Slice 76/155 | Head
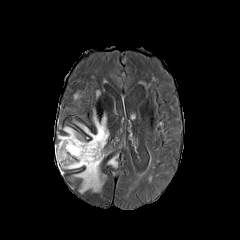
FLAIR MRI.
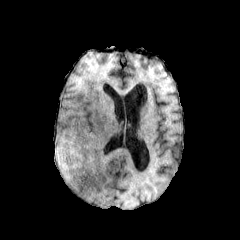
Same slice, T1-weighted MR.
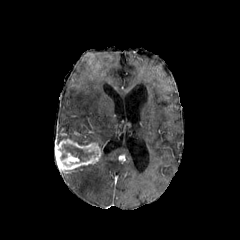
Post-contrast T1-weighted MRI.
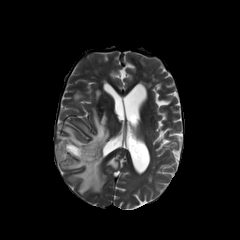
T2-weighted MRI of the same slice.
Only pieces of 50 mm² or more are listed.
enhancing tumor: bounding box (left=55, top=138, right=102, bottom=172)
necrotic tumor core: bounding box (left=60, top=144, right=94, bottom=161)
peritumoral edema: bounding box (left=108, top=157, right=117, bottom=167), (left=58, top=127, right=86, bottom=144), (left=90, top=111, right=108, bottom=148), (left=73, top=157, right=104, bottom=193)